240x240; Brain
FLAIR MR.
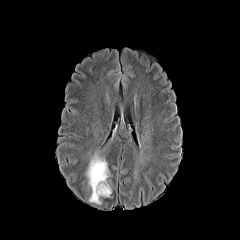
T1-weighted magnetic resonance.
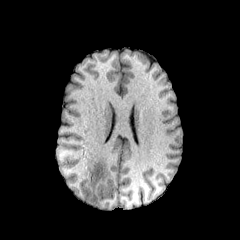
Post-contrast T1-weighted magnetic resonance.
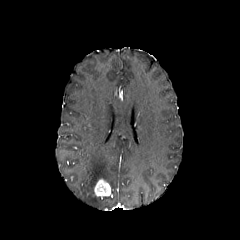
T2-weighted magnetic resonance.
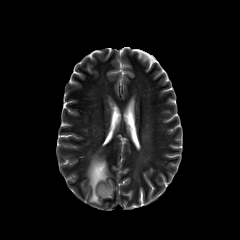
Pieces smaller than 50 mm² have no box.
peritumoral edema = rect(86, 153, 109, 204)
necrotic tumor core = rect(96, 182, 109, 192)
enhancing tumor = rect(94, 179, 110, 197)